Head; Slice index 45
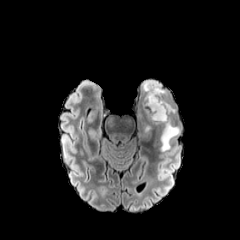
FLAIR MR image.
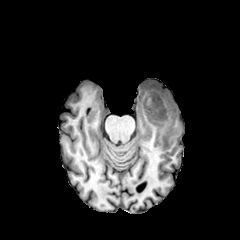
T1-weighted MR.
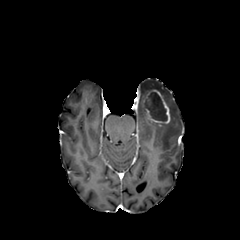
Same slice, post-contrast T1-weighted MRI.
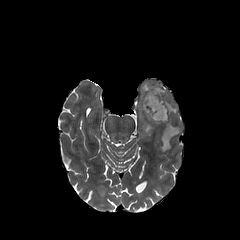
Same slice, T2-weighted MRI.
necrotic tumor core at 145:92:167:121
peritumoral edema at 142:107:153:132, 142:80:180:151
enhancing tumor at 142:89:170:125